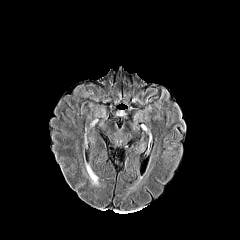
FLAIR MR image.
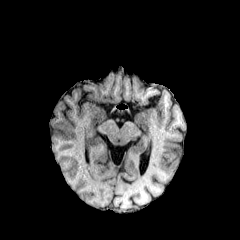
T1-weighted MR image.
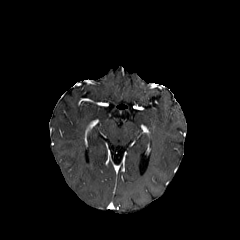
Same slice, post-contrast T1-weighted MR image.
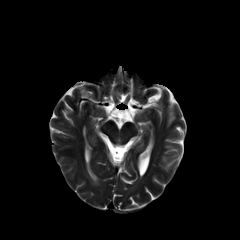
T2-weighted MRI.
Axial slice | Image size 240x240
The peritumoral edema lies within [86, 164, 97, 183].